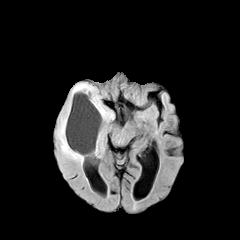
FLAIR MR image.
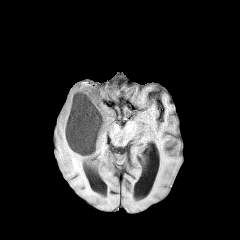
T1-weighted magnetic resonance.
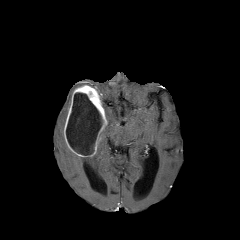
Post-contrast T1-weighted MRI.
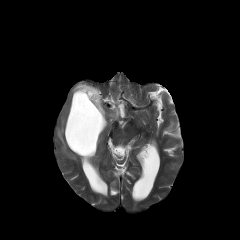
T2-weighted MR image.
Axial plane; Head; Image size 240x240
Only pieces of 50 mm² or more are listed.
necrotic tumor core: bbox(66, 93, 102, 155)
enhancing tumor: bbox(63, 85, 107, 156)
peritumoral edema: bbox(95, 105, 114, 155); bbox(56, 83, 91, 163)